Head. Axial view. 240x240 px.
FLAIR MRI.
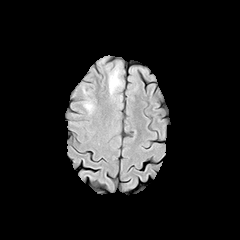
T1-weighted magnetic resonance.
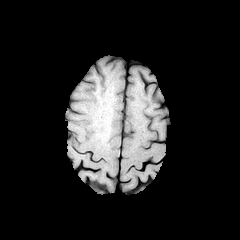
Post-contrast T1-weighted MR.
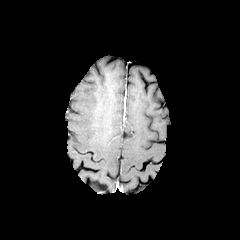
T2-weighted MR.
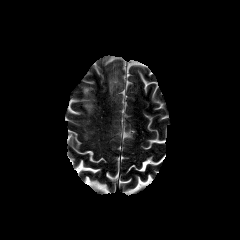
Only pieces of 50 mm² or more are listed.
peritumoral edema: [x1=84, y1=100, x2=93, y2=111], [x1=109, y1=69, x2=121, y2=93]